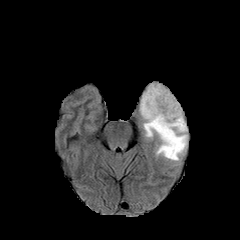
FLAIR MR image.
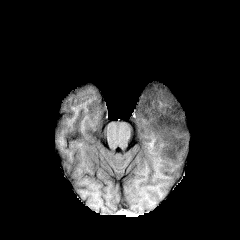
T1-weighted magnetic resonance.
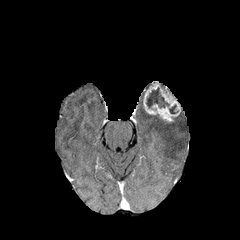
Post-contrast T1-weighted magnetic resonance of the same slice.
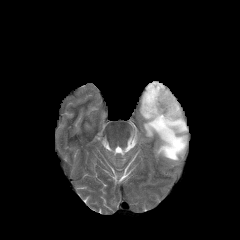
Same slice, T2-weighted MR.
Axial view.
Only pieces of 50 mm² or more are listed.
necrotic tumor core — rect(146, 87, 168, 107)
enhancing tumor — rect(143, 82, 181, 122)
peritumoral edema — rect(139, 92, 187, 161)